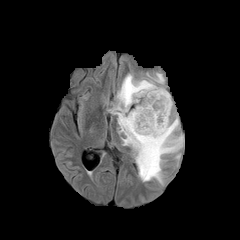
FLAIR MR image.
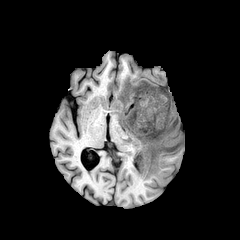
T1-weighted magnetic resonance.
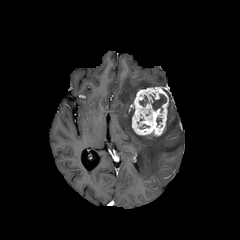
Post-contrast T1-weighted MR image.
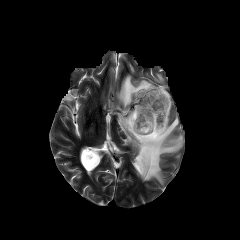
T2-weighted MRI of the same slice.
Axial view
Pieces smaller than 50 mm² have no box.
<segmentation>
  <necrotic_tumor_core>(152,94,166,110)</necrotic_tumor_core>
  <peritumoral_edema>(152,73,164,83), (110,74,184,184)</peritumoral_edema>
  <enhancing_tumor>(131,86,169,137)</enhancing_tumor>
</segmentation>